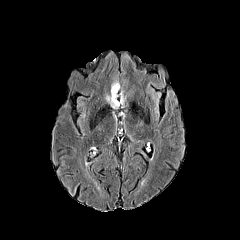
FLAIR MR.
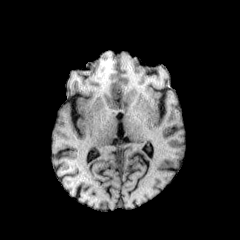
T1-weighted magnetic resonance of the same slice.
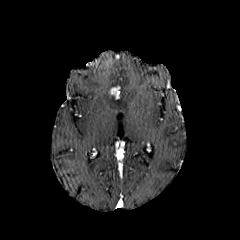
Post-contrast T1-weighted MRI of the same slice.
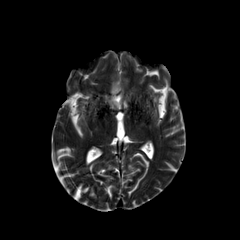
T2-weighted MR image.
Head | Axial slice
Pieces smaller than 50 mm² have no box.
The enhancing tumor is located at left=111, top=86, right=119, bottom=97. The largest peritumoral edema region is located at left=106, top=91, right=125, bottom=108.